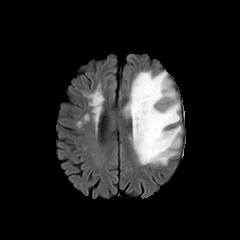
FLAIR MR.
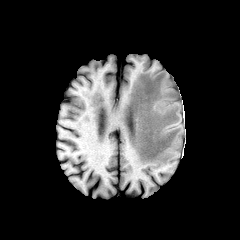
T1-weighted MR image of the same slice.
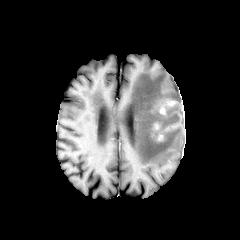
Post-contrast T1-weighted MR image.
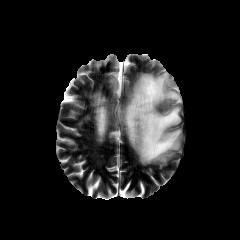
Same slice, T2-weighted magnetic resonance.
Brain
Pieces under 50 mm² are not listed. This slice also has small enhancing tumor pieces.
<segmentation>
  <peritumoral_edema>region(125, 71, 181, 165)</peritumoral_edema>
</segmentation>